Slice 77 of 155; Axial plane; Image width 240 mm, 1.00 mm slice spacing
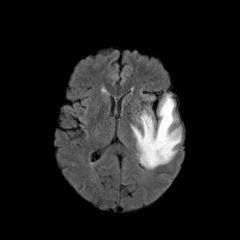
FLAIR MR image.
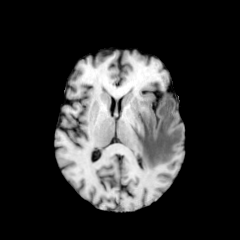
T1-weighted magnetic resonance.
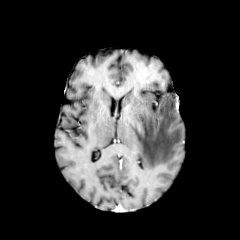
Post-contrast T1-weighted MRI.
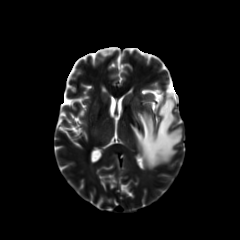
T2-weighted MRI of the same slice.
The peritumoral edema is bounded by 133:95:182:167.